Axial view | Brain
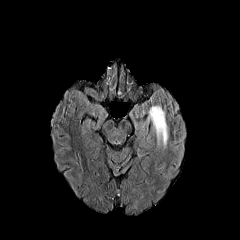
FLAIR MR.
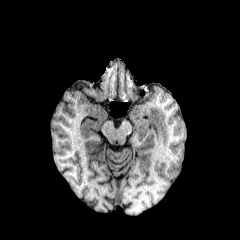
Same slice, T1-weighted MRI.
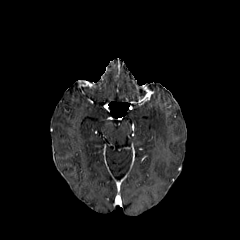
Post-contrast T1-weighted MR image.
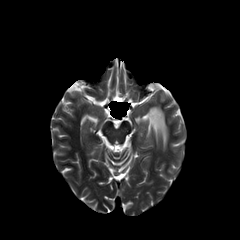
T2-weighted MRI.
{"peritumoral_edema": ["bbox(147, 105, 168, 148)"]}